Head; 240x240; Axial slice; Slice index 100
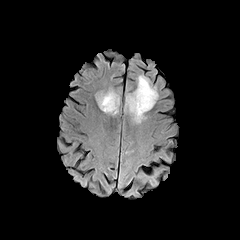
FLAIR MRI.
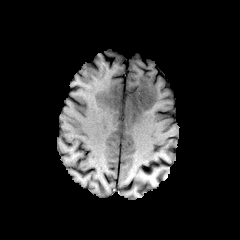
T1-weighted magnetic resonance.
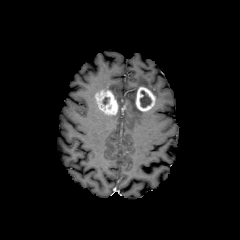
Same slice, post-contrast T1-weighted magnetic resonance.
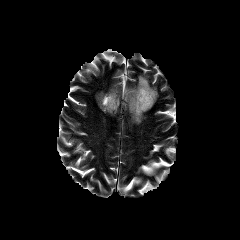
T2-weighted MR of the same slice.
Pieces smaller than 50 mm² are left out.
Segmented structures:
- peritumoral edema: [109, 88, 120, 110], [124, 75, 158, 123]
- necrotic tumor core: [140, 91, 151, 107]
- enhancing tumor: [135, 86, 155, 111], [95, 90, 118, 114]